Image size 240x240
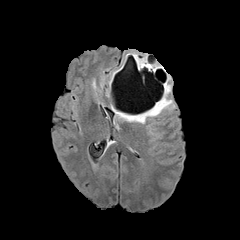
FLAIR magnetic resonance.
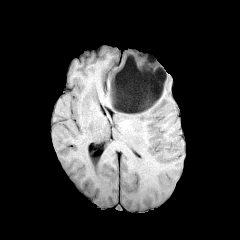
T1-weighted MRI.
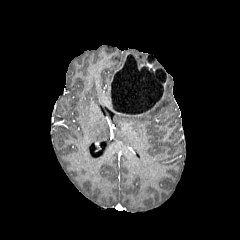
Post-contrast T1-weighted magnetic resonance.
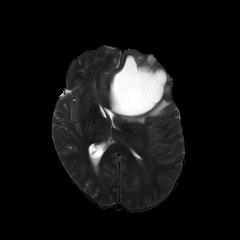
T2-weighted MRI of the same slice.
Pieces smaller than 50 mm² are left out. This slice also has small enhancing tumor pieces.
{
  "necrotic_tumor_core": [
    "111,55,167,113"
  ],
  "peritumoral_edema": [
    "121,97,171,123"
  ]
}